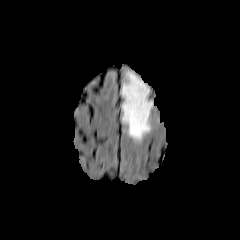
FLAIR MR image.
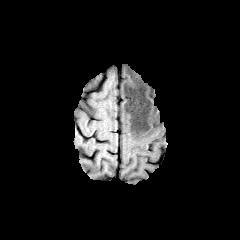
T1-weighted MR image.
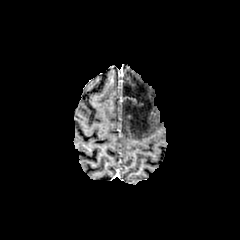
Post-contrast T1-weighted MR image.
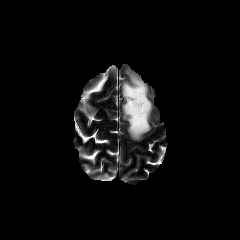
T2-weighted MRI.
Brain | Axial plane
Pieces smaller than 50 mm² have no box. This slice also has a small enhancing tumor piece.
The peritumoral edema lies within bbox=[121, 71, 152, 140].